FLAIR MR image.
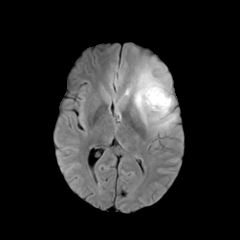
T1-weighted MR.
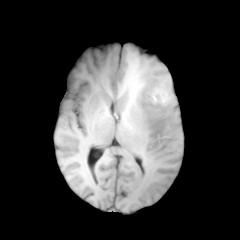
Post-contrast T1-weighted MR.
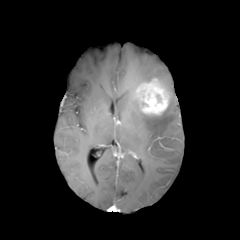
T2-weighted MRI.
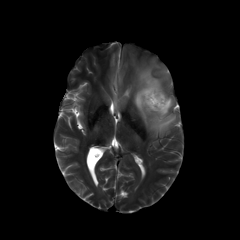
Axial view | Head | 240x240 px
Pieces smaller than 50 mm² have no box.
The enhancing tumor lies within rect(136, 78, 168, 115). The largest peritumoral edema region is located at rect(134, 59, 176, 132).